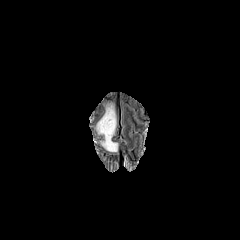
FLAIR MR image.
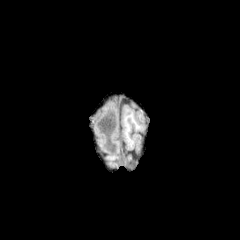
T1-weighted magnetic resonance of the same slice.
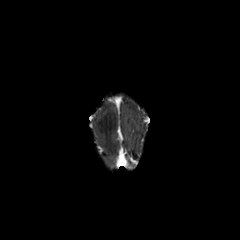
Post-contrast T1-weighted MRI of the same slice.
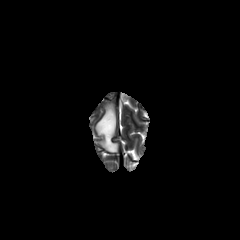
T2-weighted MR.
The peritumoral edema is at region(96, 104, 117, 151).